Brain, Axial slice, Image size 240x240, Slice index 100
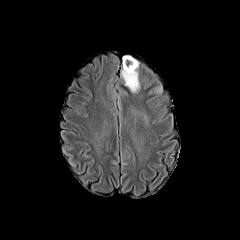
FLAIR magnetic resonance.
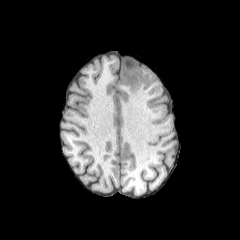
T1-weighted magnetic resonance.
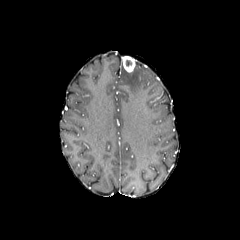
Post-contrast T1-weighted MRI.
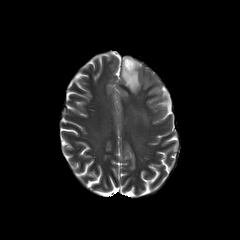
T2-weighted MR image of the same slice.
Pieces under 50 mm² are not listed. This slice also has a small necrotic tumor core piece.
* enhancing tumor: l=123, t=55, r=135, b=72
* peritumoral edema: l=121, t=62, r=140, b=93